Image width 240 mm; Brain
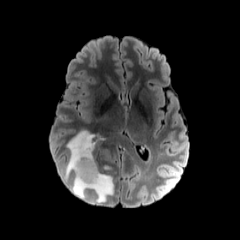
FLAIR MR image.
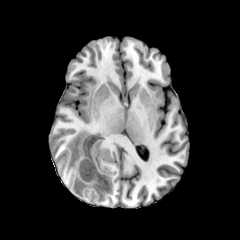
T1-weighted magnetic resonance.
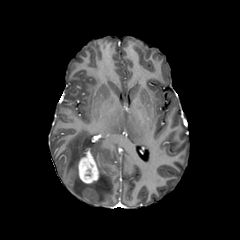
Post-contrast T1-weighted MR image of the same slice.
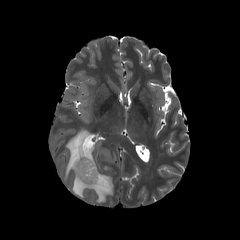
Same slice, T2-weighted magnetic resonance.
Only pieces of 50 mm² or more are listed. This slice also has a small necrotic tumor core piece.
enhancing_tumor:
  - (78, 148, 99, 183)
peritumoral_edema:
  - (65, 130, 113, 203)